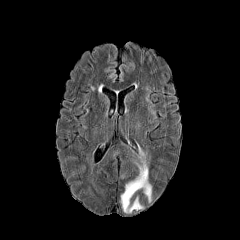
FLAIR MRI.
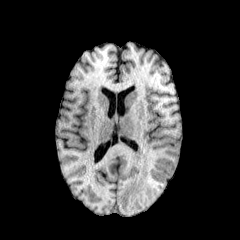
T1-weighted MR image of the same slice.
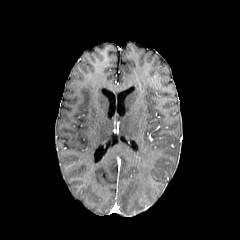
Post-contrast T1-weighted MR.
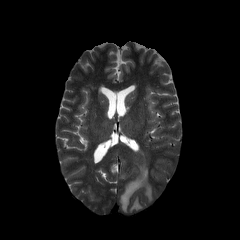
Same slice, T2-weighted MR.
{
  "peritumoral_edema": [
    "region(120, 150, 151, 214)"
  ]
}